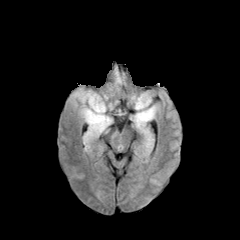
FLAIR MR.
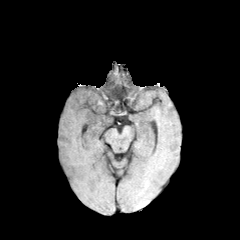
Same slice, T1-weighted magnetic resonance.
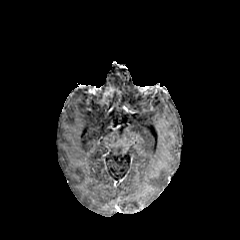
Post-contrast T1-weighted MR of the same slice.
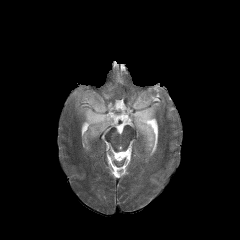
Same slice, T2-weighted MRI.
Image size 240x240, Brain, Axial slice
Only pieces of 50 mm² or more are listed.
peritumoral edema: bbox(130, 105, 157, 149); bbox(109, 70, 122, 90); bbox(130, 94, 151, 110); bbox(72, 88, 112, 150)
enhancing tumor: bbox(96, 87, 119, 107)